FLAIR magnetic resonance.
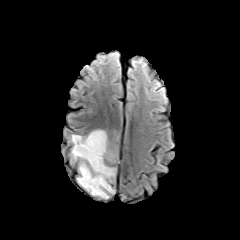
T1-weighted magnetic resonance.
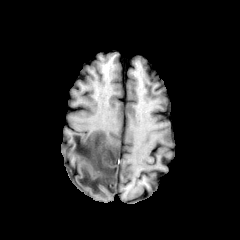
Post-contrast T1-weighted MR.
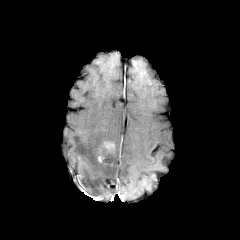
T2-weighted MR image.
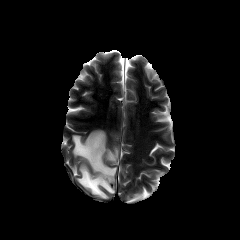
Axial plane.
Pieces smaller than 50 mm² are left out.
peritumoral edema: bounding box 72, 130, 116, 198
enhancing tumor: bounding box 104, 142, 113, 153